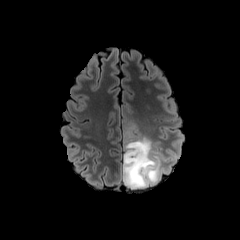
FLAIR MR.
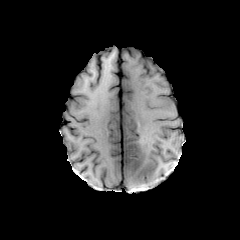
T1-weighted MR of the same slice.
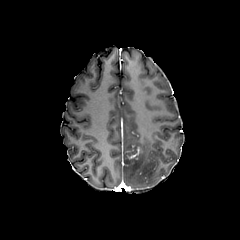
Post-contrast T1-weighted magnetic resonance.
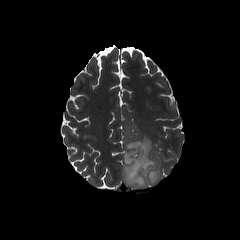
T2-weighted MR.
Brain | Axial plane
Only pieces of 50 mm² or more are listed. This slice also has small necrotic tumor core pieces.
The enhancing tumor appears at 128:147:140:158. The peritumoral edema is located at 122:133:167:188.